FLAIR MR image.
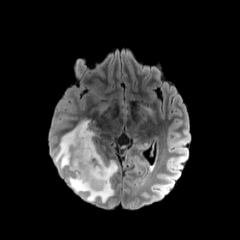
T1-weighted MR image.
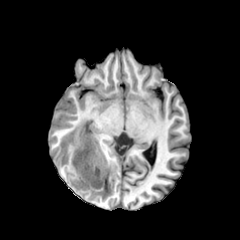
Post-contrast T1-weighted MR.
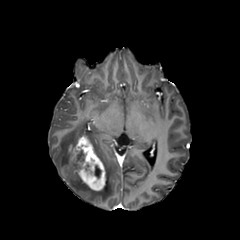
T2-weighted magnetic resonance.
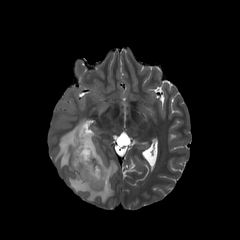
Axial slice, Image size 240x240
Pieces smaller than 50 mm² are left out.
peritumoral edema: bounding box 54, 119, 117, 202
necrotic tumor core: bounding box 94, 165, 101, 178; 77, 149, 84, 163
enhancing tumor: bounding box 70, 135, 106, 190